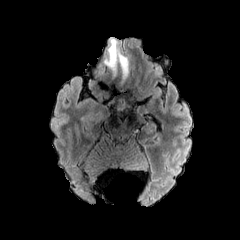
FLAIR MR.
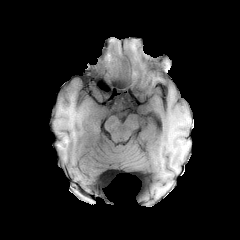
T1-weighted MR.
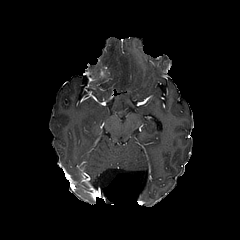
Same slice, post-contrast T1-weighted MR.
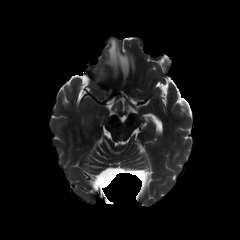
T2-weighted MR.
Axial plane
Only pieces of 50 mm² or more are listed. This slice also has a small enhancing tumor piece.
peritumoral edema = (x1=105, y1=38, x2=128, y2=77)